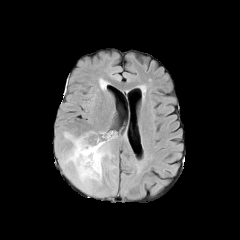
FLAIR MR.
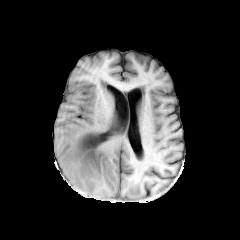
T1-weighted magnetic resonance of the same slice.
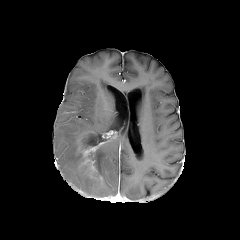
Post-contrast T1-weighted MRI.
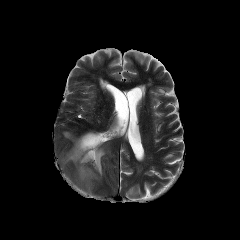
Same slice, T2-weighted MRI.
Brain
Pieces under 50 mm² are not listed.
peritumoral edema: bounding box <bbox>63, 132, 110, 190</bbox>
necrotic tumor core: bounding box <bbox>82, 135, 101, 147</bbox>
enhancing tumor: bounding box <bbox>77, 132, 103, 177</bbox>